Head. Image size 240x240. Slice 57/155.
FLAIR MRI.
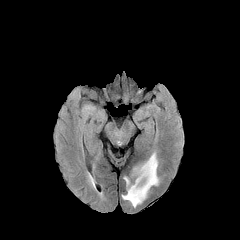
T1-weighted MRI.
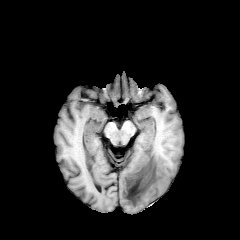
Post-contrast T1-weighted MR.
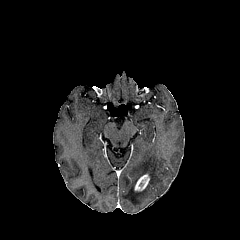
T2-weighted MR image.
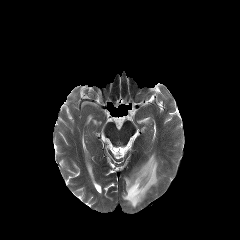
enhancing tumor — (134,173,149,191)
peritumoral edema — (122,152,159,207)